FLAIR MR.
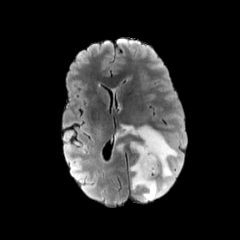
T1-weighted magnetic resonance.
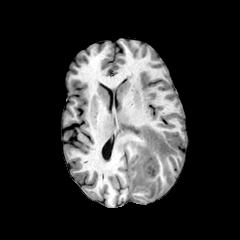
Post-contrast T1-weighted MR image.
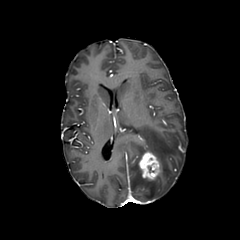
T2-weighted MR image.
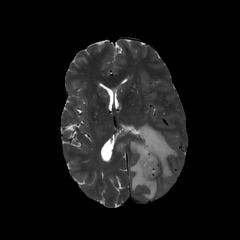
240x240. Brain. Axial plane.
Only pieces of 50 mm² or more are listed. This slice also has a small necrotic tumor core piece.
The largest peritumoral edema region lies within rect(130, 125, 177, 200). The largest enhancing tumor region is at rect(139, 151, 159, 179).